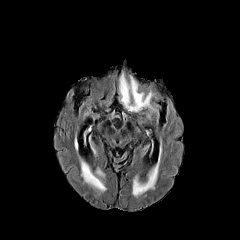
FLAIR MR.
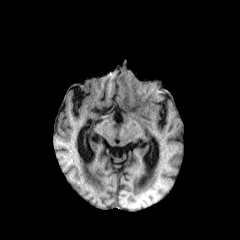
T1-weighted MR image of the same slice.
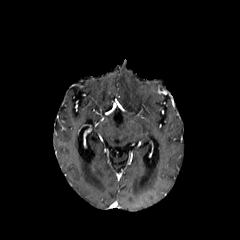
Post-contrast T1-weighted MRI.
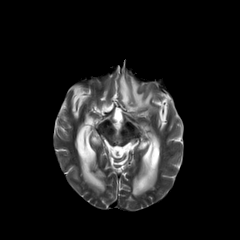
T2-weighted MR image of the same slice.
Brain | Axial slice | 240x240
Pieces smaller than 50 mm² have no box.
The 3 largest peritumoral edema regions are located at rect(119, 73, 155, 111); rect(81, 161, 105, 191); rect(133, 172, 156, 195).